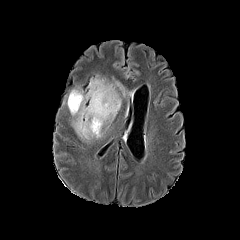
FLAIR MRI.
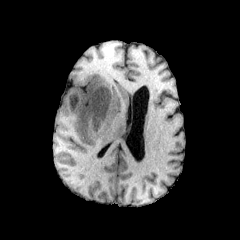
T1-weighted MR image.
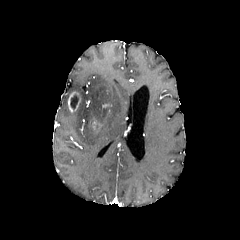
Post-contrast T1-weighted MRI of the same slice.
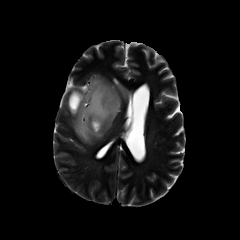
T2-weighted magnetic resonance of the same slice.
Axial slice; Head
necrotic tumor core: 70,95,78,109
enhancing tumor: 68,91,81,112; 92,119,100,132
peritumoral edema: 71,76,126,139